Axial view, Brain, Slice index 35
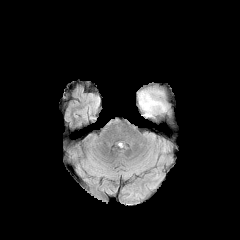
FLAIR MR image.
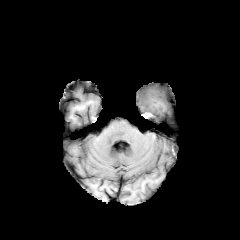
T1-weighted MR.
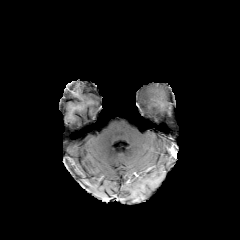
Post-contrast T1-weighted MRI.
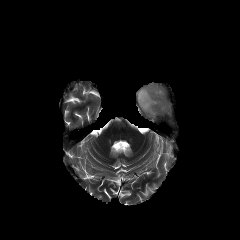
T2-weighted MRI.
{
  "peritumoral_edema": [
    "(136,83,174,122)"
  ]
}